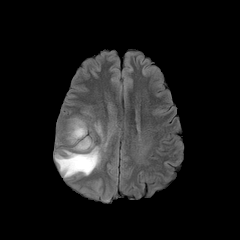
FLAIR magnetic resonance.
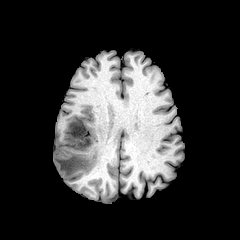
T1-weighted magnetic resonance of the same slice.
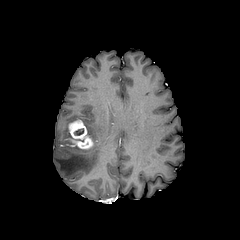
Same slice, post-contrast T1-weighted MRI.
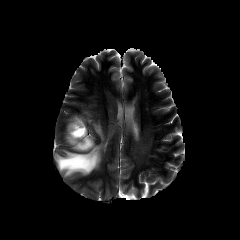
T2-weighted magnetic resonance.
240x240.
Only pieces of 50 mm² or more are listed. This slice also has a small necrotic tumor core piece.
The enhancing tumor lies within 68:119:93:149. The 2 largest peritumoral edema regions are bounded by 55:145:100:177, 95:124:102:136.